FLAIR magnetic resonance.
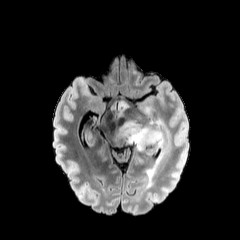
T1-weighted MR.
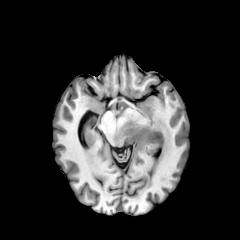
Post-contrast T1-weighted MR.
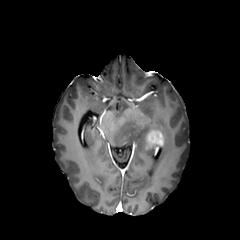
T2-weighted MRI.
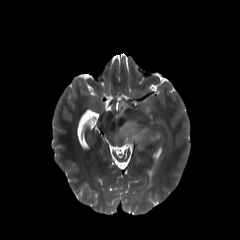
Axial view.
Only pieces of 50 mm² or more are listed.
The enhancing tumor is bounded by 146:130:164:150. The 4 largest peritumoral edema regions are bounded by 147:150:161:181, 118:119:165:151, 118:102:127:116, 144:107:154:118.